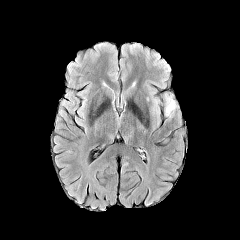
FLAIR MR.
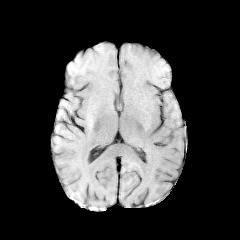
Same slice, T1-weighted MR.
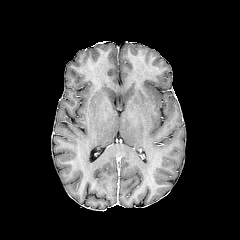
Post-contrast T1-weighted MR image of the same slice.
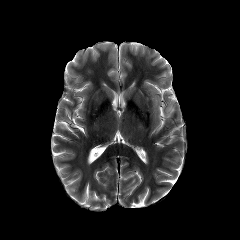
Same slice, T2-weighted magnetic resonance.
240x240 px
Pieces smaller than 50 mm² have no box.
peritumoral edema — left=165, top=93, right=176, bottom=118